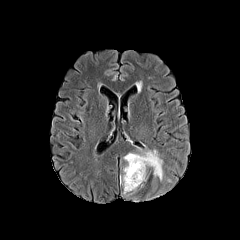
FLAIR magnetic resonance.
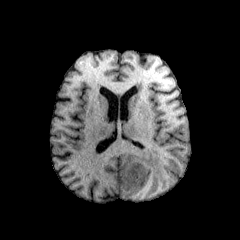
T1-weighted MR image of the same slice.
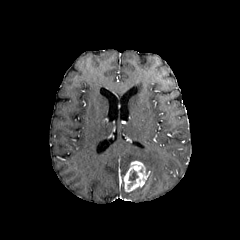
Post-contrast T1-weighted MR image.
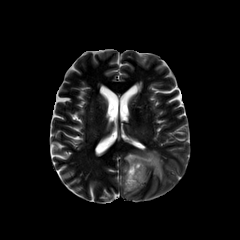
T2-weighted MR image.
Image size 240x240. Axial plane.
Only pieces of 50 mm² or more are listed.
<segmentation>
  <necrotic_tumor_core>(left=129, top=171, right=137, bottom=180)</necrotic_tumor_core>
  <enhancing_tumor>(left=122, top=160, right=148, bottom=192)</enhancing_tumor>
  <peritumoral_edema>(left=123, top=150, right=163, bottom=180)</peritumoral_edema>
</segmentation>